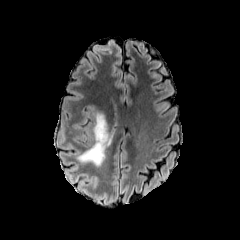
FLAIR MR.
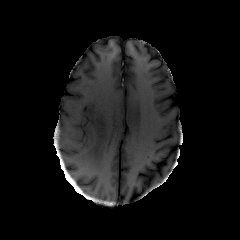
T1-weighted MR.
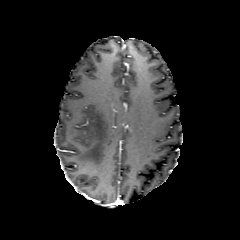
Same slice, post-contrast T1-weighted MRI.
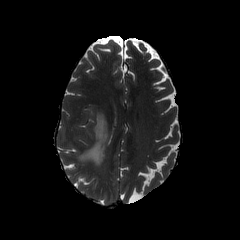
T2-weighted MR image.
Brain. 240x240 px.
peritumoral edema: (left=77, top=112, right=112, bottom=166)